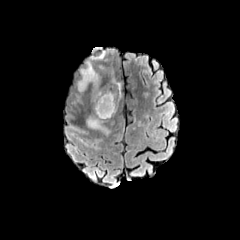
FLAIR MR.
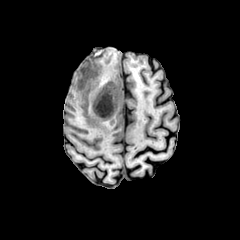
T1-weighted magnetic resonance of the same slice.
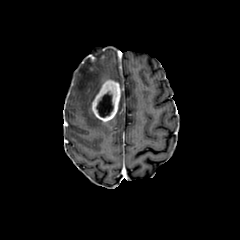
Same slice, post-contrast T1-weighted MRI.
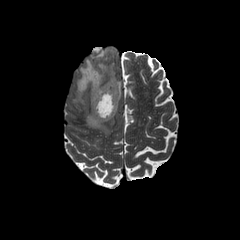
T2-weighted MR image.
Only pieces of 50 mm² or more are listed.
enhancing tumor = 92:80:120:121
peritumoral edema = 94:51:104:59, 77:60:101:99, 87:115:109:134
necrotic tumor core = 96:92:113:117